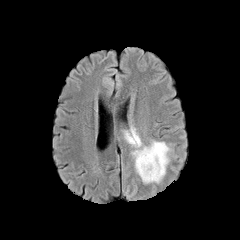
FLAIR MR.
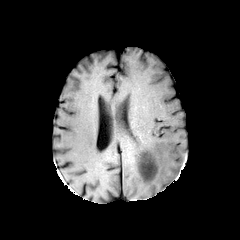
T1-weighted MRI of the same slice.
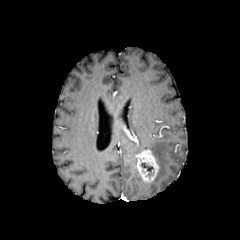
Same slice, post-contrast T1-weighted MRI.
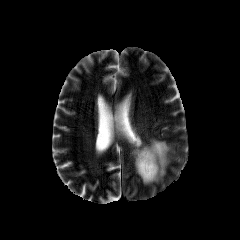
T2-weighted MR image.
Brain. 240x240 px.
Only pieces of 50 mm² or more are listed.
peritumoral edema: {"x1": 125, "y1": 128, "x2": 170, "y2": 183} | enhancing tumor: {"x1": 136, "y1": 149, "x2": 158, "y2": 182}, {"x1": 124, "y1": 126, "x2": 137, "y2": 143} | necrotic tumor core: {"x1": 141, "y1": 163, "x2": 153, "y2": 175}